Head | Image width 240 mm | Slice index 102 | 240x240 px
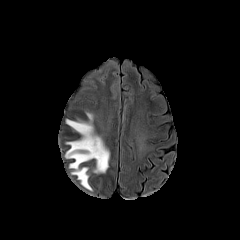
FLAIR MR image.
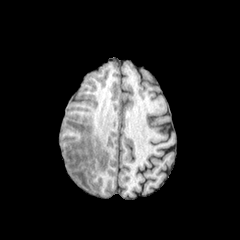
T1-weighted MR image of the same slice.
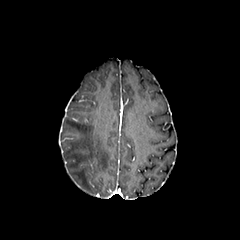
Same slice, post-contrast T1-weighted MR image.
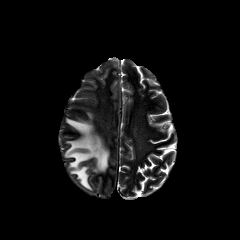
T2-weighted magnetic resonance of the same slice.
peritumoral_edema:
  - box(65, 112, 109, 191)